240x240 px; Slice index 96; Head
FLAIR MR image.
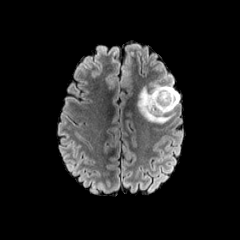
T1-weighted magnetic resonance.
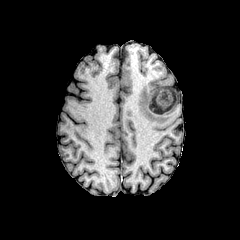
Post-contrast T1-weighted MR.
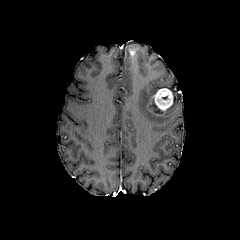
T2-weighted MRI.
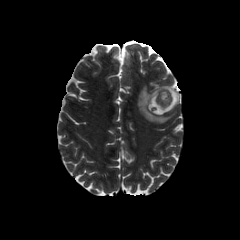
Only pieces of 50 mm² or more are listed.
necrotic tumor core: (151,101,162,113) | peritumoral edema: (137,73,179,123) | enhancing tumor: (146,88,177,116)